FLAIR magnetic resonance.
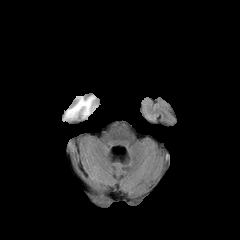
T1-weighted MR.
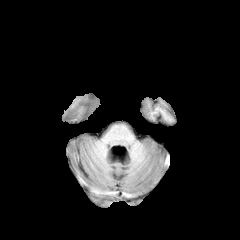
Post-contrast T1-weighted magnetic resonance.
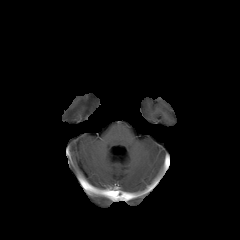
T2-weighted MRI.
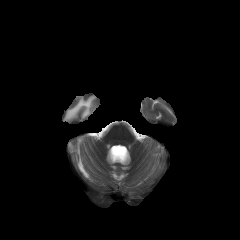
Axial slice; Head
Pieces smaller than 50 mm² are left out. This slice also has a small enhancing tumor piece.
• peritumoral edema: 65 96 96 119